Slice 67/155 | Head
FLAIR MR image.
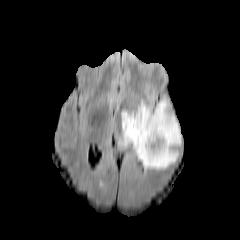
T1-weighted MRI.
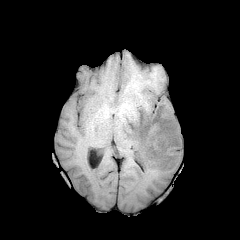
Post-contrast T1-weighted magnetic resonance.
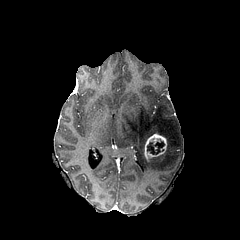
T2-weighted magnetic resonance.
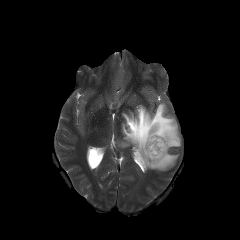
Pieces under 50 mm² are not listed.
The necrotic tumor core is at 147,139,164,154. The peritumoral edema appears at 118,99,181,170. The largest enhancing tumor region is located at 144,133,167,161.